Image covers 240 mm x 240 mm
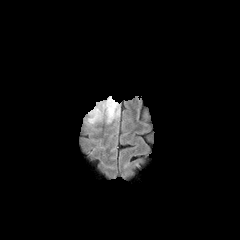
FLAIR MR image.
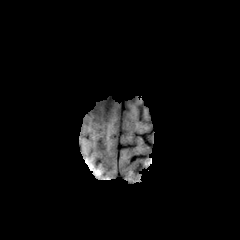
Same slice, T1-weighted MRI.
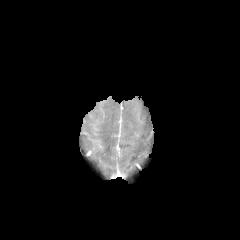
Post-contrast T1-weighted MR image of the same slice.
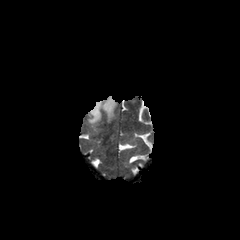
T2-weighted MR.
The peritumoral edema is at x1=87, y1=96, x2=119, y2=124.